Brain, Image size 240x240
FLAIR MR image.
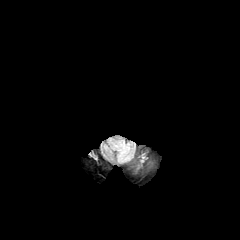
T1-weighted MR.
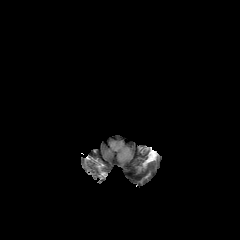
Post-contrast T1-weighted MR image.
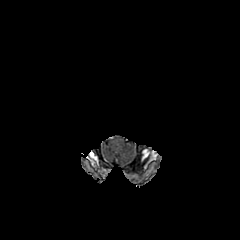
T2-weighted MR.
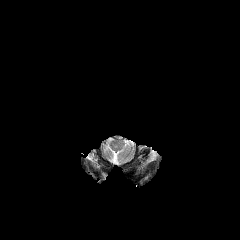
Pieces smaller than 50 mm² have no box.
The largest peritumoral edema region is located at (118,144,129,156).